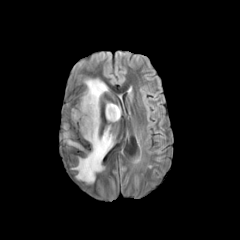
FLAIR MR image.
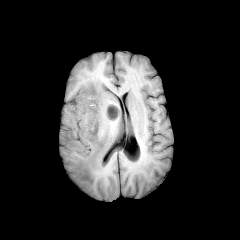
T1-weighted MR of the same slice.
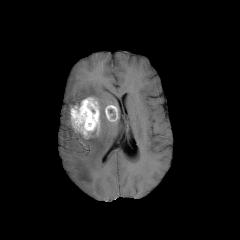
Post-contrast T1-weighted MR image of the same slice.
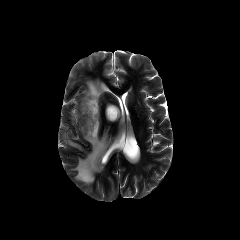
T2-weighted MR of the same slice.
Axial plane | Brain
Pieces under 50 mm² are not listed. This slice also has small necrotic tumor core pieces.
<segmentation>
  <enhancing_tumor>[105, 105, 118, 121], [70, 97, 99, 138]</enhancing_tumor>
  <peritumoral_edema>[82, 79, 107, 105], [72, 126, 113, 183], [63, 132, 81, 149]</peritumoral_edema>
</segmentation>